FLAIR MR.
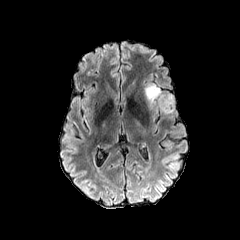
T1-weighted magnetic resonance.
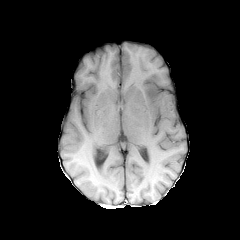
Post-contrast T1-weighted magnetic resonance.
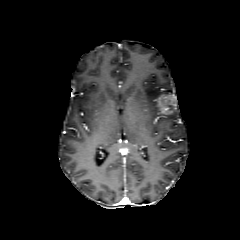
T2-weighted MR image.
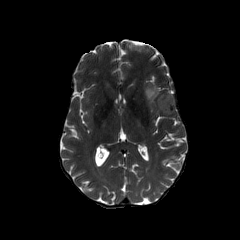
Axial plane; Brain
{
  "peritumoral_edema": [
    "rect(144, 84, 160, 106)"
  ],
  "enhancing_tumor": [
    "rect(156, 94, 176, 114)"
  ]
}